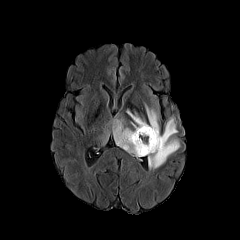
FLAIR magnetic resonance.
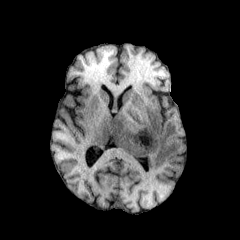
T1-weighted MR of the same slice.
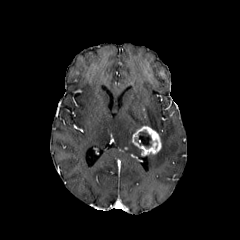
Post-contrast T1-weighted MRI.
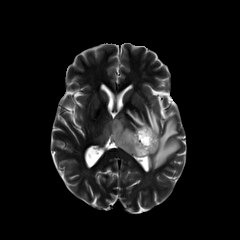
T2-weighted magnetic resonance of the same slice.
Axial plane; Head; 240x240 px
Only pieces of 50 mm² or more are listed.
necrotic_tumor_core:
  - l=135, t=130, r=151, b=148
peritumoral_edema:
  - l=112, t=104, r=159, b=156
  - l=101, t=129, r=109, b=143
  - l=148, t=118, r=180, b=169
enhancing_tumor:
  - l=131, t=126, r=161, b=155